Head
FLAIR magnetic resonance.
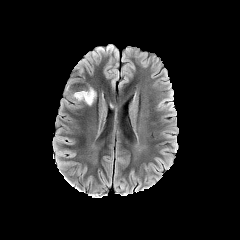
T1-weighted MR image.
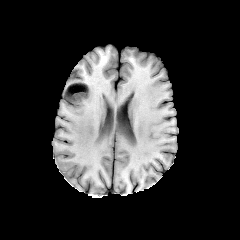
Post-contrast T1-weighted MR.
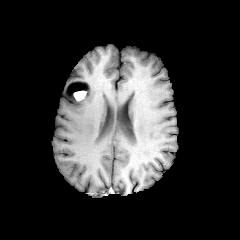
T2-weighted magnetic resonance.
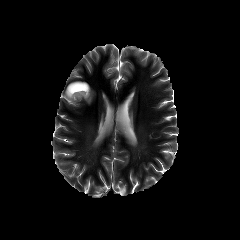
<segmentation>
  <enhancing_tumor>x1=73, y1=90, x2=87, y2=100</enhancing_tumor>
  <peritumoral_edema>x1=81, y1=87, x2=95, y2=105; x1=65, y1=84, x2=80, y2=102</peritumoral_edema>
  <necrotic_tumor_core>x1=67, y1=82, x2=88, y2=94</necrotic_tumor_core>
</segmentation>